Slice index 101. Brain. 240x240. Axial view.
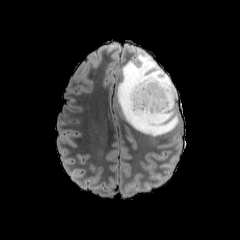
FLAIR MRI.
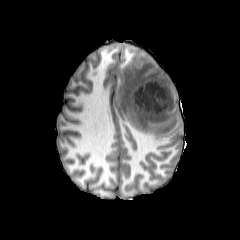
Same slice, T1-weighted MR.
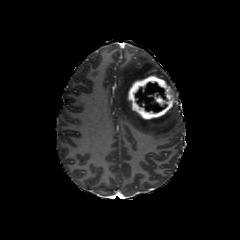
Same slice, post-contrast T1-weighted MRI.
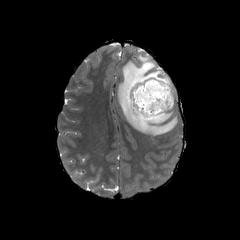
T2-weighted MR image of the same slice.
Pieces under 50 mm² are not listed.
{"necrotic_tumor_core": ["l=135, t=82, r=167, b=112"], "peritumoral_edema": ["l=117, t=48, r=179, b=136"], "enhancing_tumor": ["l=127, t=75, r=174, b=120"]}